Slice 124 of 155, Image covers 240 mm x 240 mm
FLAIR MR image.
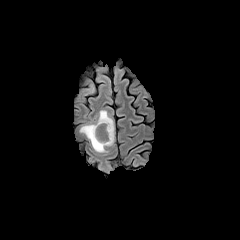
T1-weighted MRI.
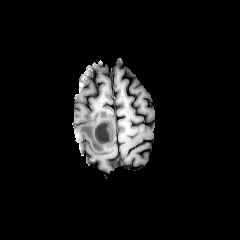
Post-contrast T1-weighted MRI.
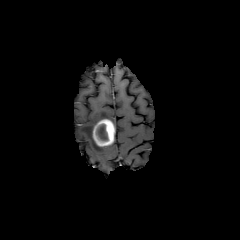
T2-weighted MR.
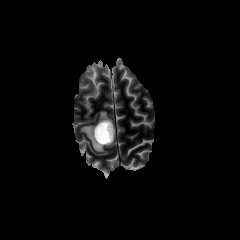
Annotated regions:
• necrotic tumor core: [x1=97, y1=124, x2=107, y2=140]
• enhancing tumor: [x1=93, y1=119, x2=114, y2=146]
• peritumoral edema: [x1=80, y1=78, x2=95, y2=94], [x1=79, y1=110, x2=115, y2=153]